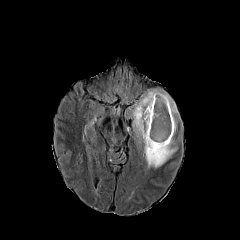
FLAIR MR image.
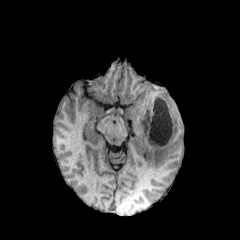
T1-weighted MR of the same slice.
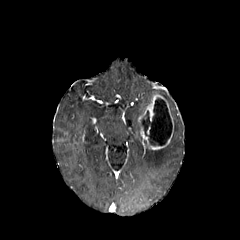
Same slice, post-contrast T1-weighted MR.
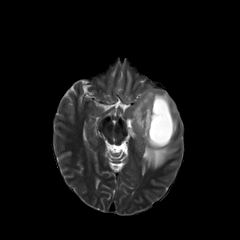
T2-weighted MR.
Axial plane
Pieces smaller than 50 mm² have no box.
peritumoral_edema:
  - (131,89,178,140)
  - (143,137,177,168)
necrotic_tumor_core:
  - (141,98,171,145)
enhancing_tumor:
  - (137,94,174,150)